Axial view. Brain.
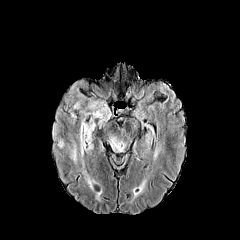
FLAIR magnetic resonance.
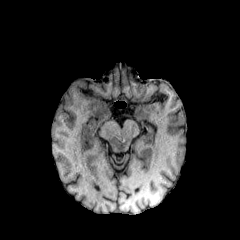
T1-weighted magnetic resonance.
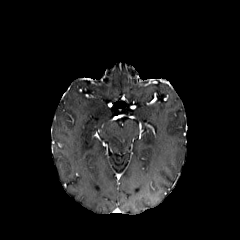
Post-contrast T1-weighted MRI.
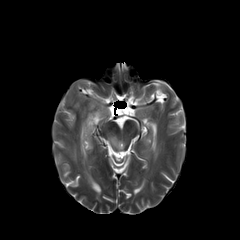
T2-weighted MRI.
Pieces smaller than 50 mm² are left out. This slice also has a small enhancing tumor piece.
peritumoral_edema:
  - (x1=67, y1=121, x2=94, y2=164)
  - (x1=109, y1=136, x2=124, y2=152)
  - (x1=93, y1=107, x2=108, y2=121)